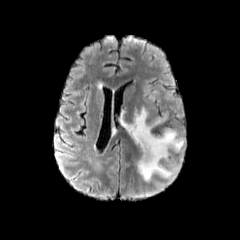
FLAIR MR image.
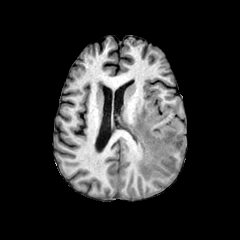
T1-weighted MR image of the same slice.
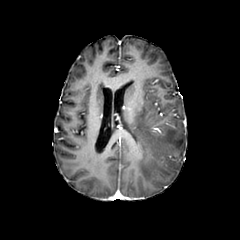
Post-contrast T1-weighted magnetic resonance of the same slice.
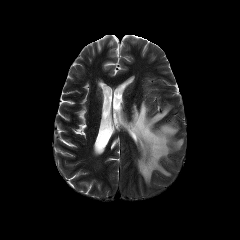
T2-weighted MRI.
Axial plane; Brain
{
  "peritumoral_edema": [
    "[127, 105, 183, 181]"
  ]
}